FLAIR magnetic resonance.
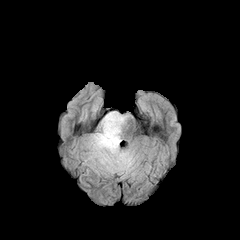
T1-weighted MR image.
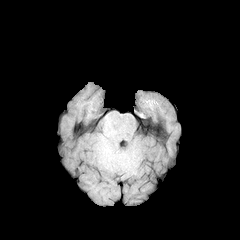
Post-contrast T1-weighted MRI.
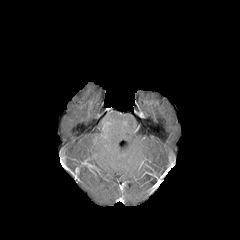
T2-weighted magnetic resonance.
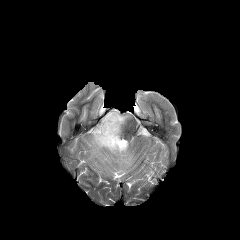
Axial view, Brain, 240x240
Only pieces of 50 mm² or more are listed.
Annotated regions:
- peritumoral edema: box=[86, 111, 134, 173]